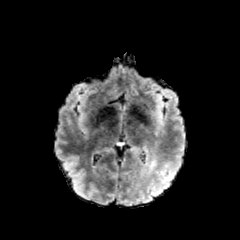
FLAIR MR.
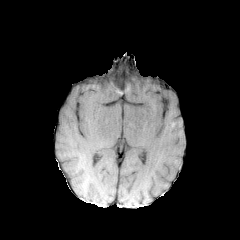
T1-weighted MR image.
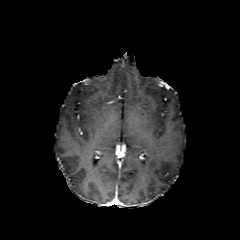
Post-contrast T1-weighted MR.
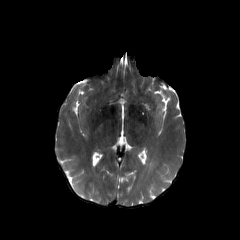
T2-weighted magnetic resonance.
Head
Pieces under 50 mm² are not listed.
peritumoral edema at (151, 158, 182, 193)